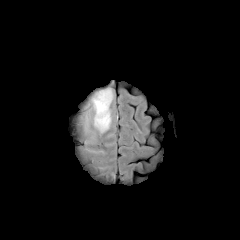
FLAIR MR image.
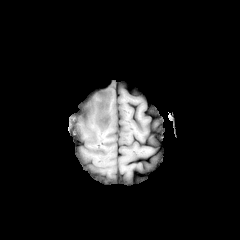
T1-weighted MR image.
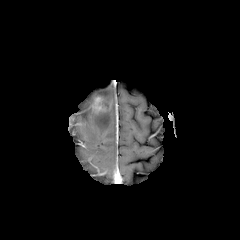
Post-contrast T1-weighted MR of the same slice.
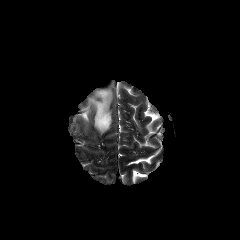
T2-weighted MRI.
Axial plane, 240x240 px
enhancing tumor: 93, 96, 105, 111 | peritumoral edema: 72, 84, 117, 132